Slice 76/155, 240x240 px
FLAIR MR image.
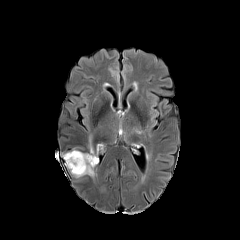
T1-weighted MRI.
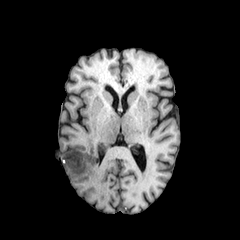
Post-contrast T1-weighted MR image.
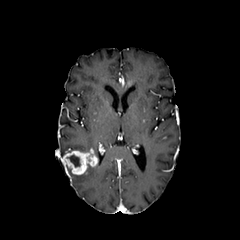
T2-weighted MR image.
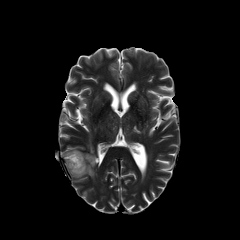
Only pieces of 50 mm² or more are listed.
enhancing tumor: x1=63, y1=149, x2=98, y2=174 | necrotic tumor core: x1=67, y1=155, x2=80, y2=166 | peritumoral edema: x1=74, y1=165, x2=94, y2=177